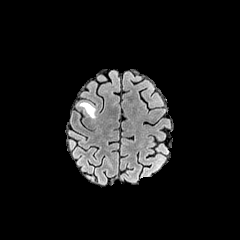
FLAIR MR.
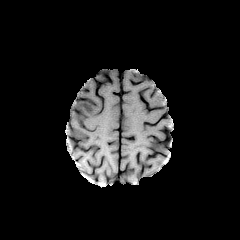
T1-weighted magnetic resonance of the same slice.
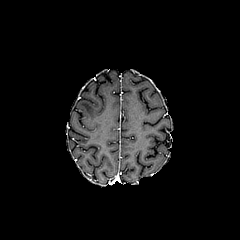
Post-contrast T1-weighted magnetic resonance of the same slice.
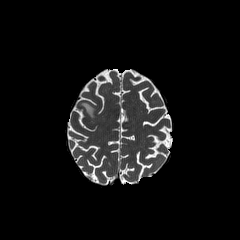
T2-weighted MR.
Axial view; Brain
peritumoral_edema:
  - 80 102 94 117